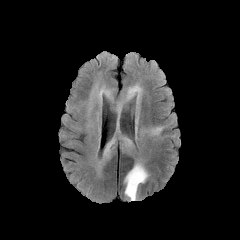
FLAIR magnetic resonance.
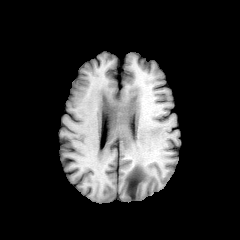
Same slice, T1-weighted magnetic resonance.
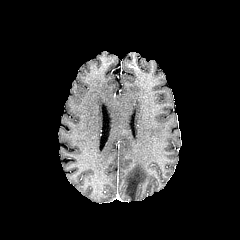
Post-contrast T1-weighted magnetic resonance.
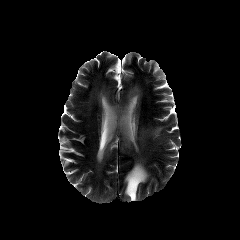
T2-weighted magnetic resonance.
240x240 px | Axial view
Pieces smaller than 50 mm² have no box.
peritumoral edema: [105,139,114,153], [124,161,149,200], [126,84,141,123], [150,127,163,135], [97,89,109,96]